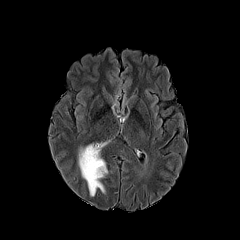
FLAIR MRI.
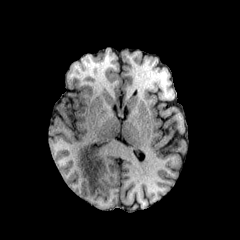
Same slice, T1-weighted MRI.
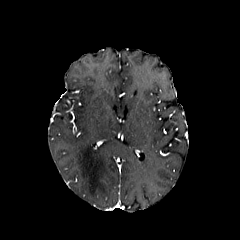
Post-contrast T1-weighted MR image.
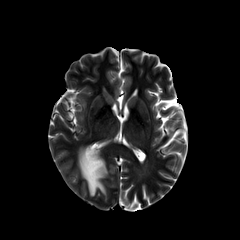
T2-weighted magnetic resonance.
Brain; Image size 240x240
peritumoral edema: bounding box (78,142,107,196)